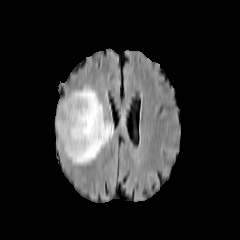
FLAIR MRI.
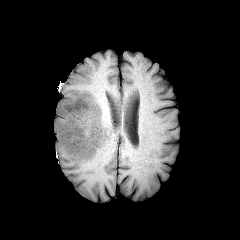
T1-weighted MRI of the same slice.
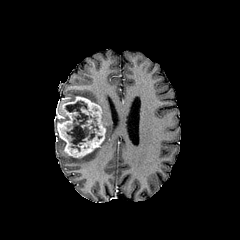
Same slice, post-contrast T1-weighted MR image.
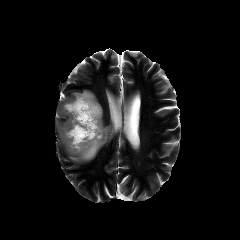
Same slice, T2-weighted MRI.
Axial plane.
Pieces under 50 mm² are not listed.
peritumoral edema: box(68, 88, 113, 164)
necrotic tumor core: box(65, 101, 98, 151)
enhancing tumor: box(57, 96, 105, 157)